FLAIR magnetic resonance.
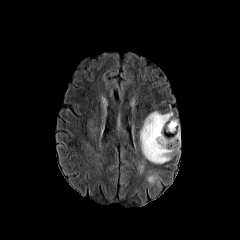
T1-weighted MR image.
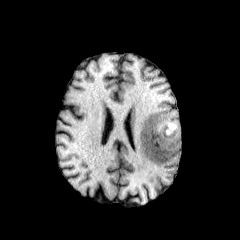
Post-contrast T1-weighted MR.
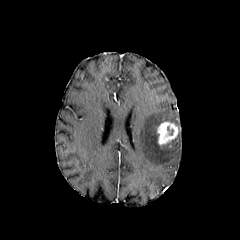
T2-weighted magnetic resonance.
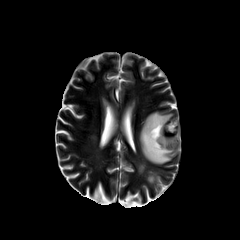
Brain.
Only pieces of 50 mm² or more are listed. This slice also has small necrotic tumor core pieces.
<segmentation>
  <enhancing_tumor><bbox>157, 121, 178, 145</bbox></enhancing_tumor>
  <peritumoral_edema><bbox>140, 111, 180, 164</bbox>, <bbox>146, 172, 160, 185</bbox></peritumoral_edema>
</segmentation>